FLAIR MR.
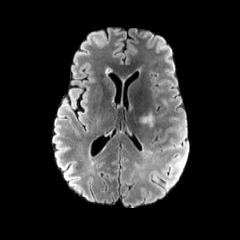
T1-weighted MR image.
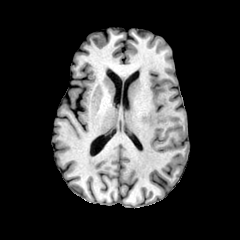
Post-contrast T1-weighted MR image.
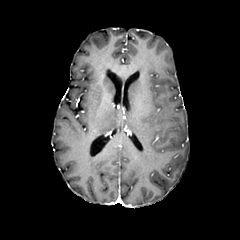
T2-weighted MRI.
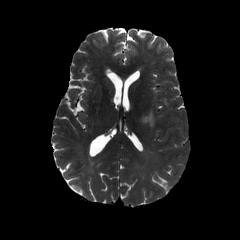
Head. Axial slice.
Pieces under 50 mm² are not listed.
{
  "peritumoral_edema": [
    "bbox=[139, 112, 162, 126]"
  ]
}